Head
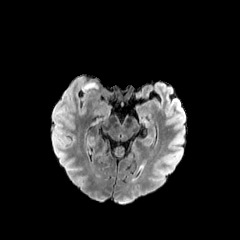
FLAIR MR image.
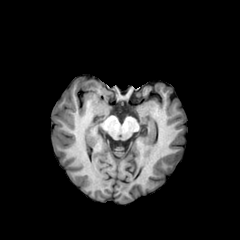
T1-weighted MR image.
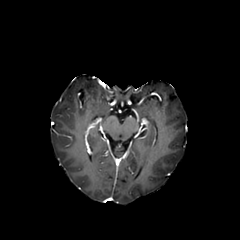
Post-contrast T1-weighted magnetic resonance.
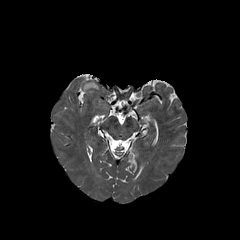
T2-weighted MR image.
The peritumoral edema appears at <bbox>84, 82, 98, 89</bbox>.